Head. Image covers 240 mm x 240 mm. Axial plane. Slice 63 of 155.
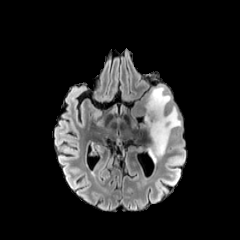
FLAIR MR image.
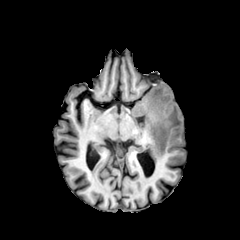
Same slice, T1-weighted magnetic resonance.
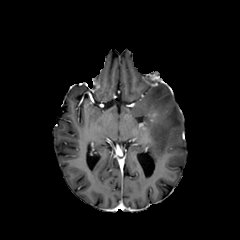
Post-contrast T1-weighted magnetic resonance of the same slice.
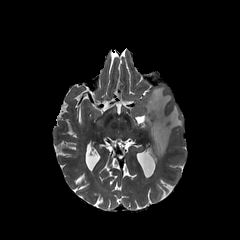
Same slice, T2-weighted MR image.
The enhancing tumor lies within left=150, top=111, right=158, bottom=120. The peritumoral edema is bounded by left=140, top=85, right=181, bottom=161.